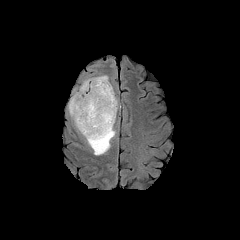
FLAIR MR.
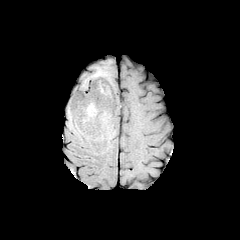
T1-weighted magnetic resonance.
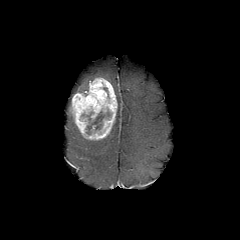
Post-contrast T1-weighted magnetic resonance of the same slice.
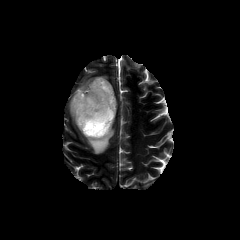
Same slice, T2-weighted magnetic resonance.
Head. 240x240 px.
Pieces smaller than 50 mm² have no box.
{
  "peritumoral_edema": [
    "left=85, top=88, right=118, bottom=155",
    "left=74, top=75, right=110, bottom=93"
  ],
  "enhancing_tumor": [
    "left=70, top=77, right=117, bottom=140"
  ],
  "necrotic_tumor_core": [
    "left=86, top=111, right=110, bottom=134"
  ]
}